FLAIR MRI.
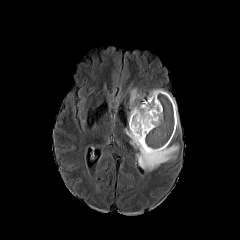
T1-weighted MR image.
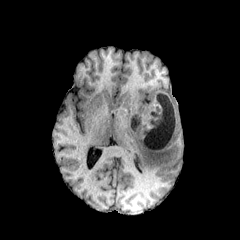
Post-contrast T1-weighted MR.
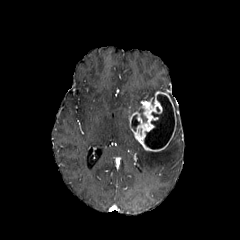
T2-weighted MR.
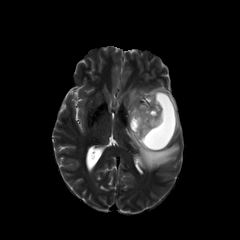
Brain, 240x240, Axial plane
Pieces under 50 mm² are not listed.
<segmentation>
  <necrotic_tumor_core>l=144, t=94, r=174, b=148; l=131, t=115, r=139, b=130</necrotic_tumor_core>
  <enhancing_tumor>l=129, t=91, r=176, b=151</enhancing_tumor>
  <peritumoral_edema>l=128, t=88, r=144, b=122; l=147, t=89, r=165, b=104; l=125, t=127, r=179, b=171; l=170, t=95, r=179, b=129</peritumoral_edema>
</segmentation>